Brain. 240x240 px. Axial plane.
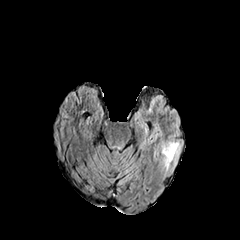
FLAIR MR.
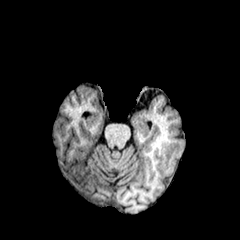
Same slice, T1-weighted MR.
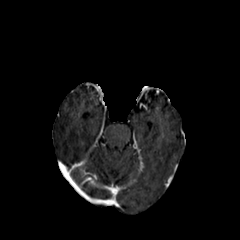
Same slice, post-contrast T1-weighted MR image.
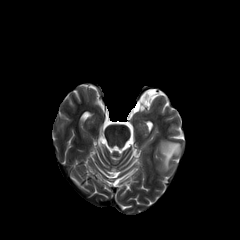
Same slice, T2-weighted magnetic resonance.
Annotated regions:
- peritumoral edema: x1=161 y1=141 x2=181 y2=170